Brain | Axial plane | 240x240 px
FLAIR MR image.
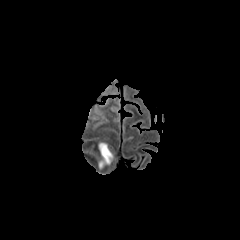
T1-weighted MRI.
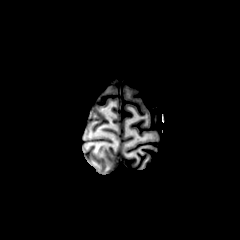
Post-contrast T1-weighted MRI.
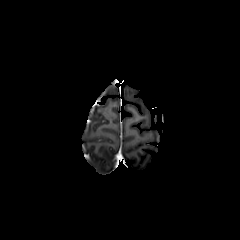
T2-weighted magnetic resonance.
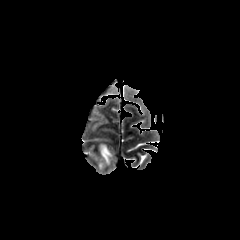
peritumoral edema: 99,143,112,168